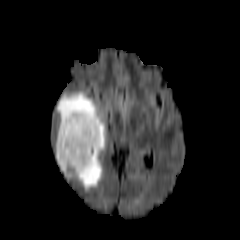
FLAIR MR.
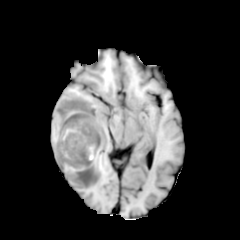
T1-weighted MRI of the same slice.
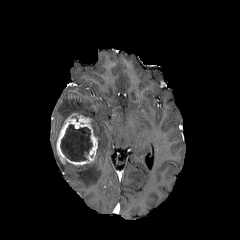
Same slice, post-contrast T1-weighted MR image.
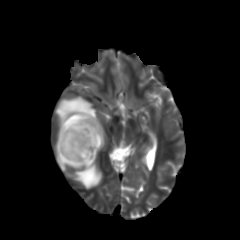
T2-weighted magnetic resonance.
Axial plane
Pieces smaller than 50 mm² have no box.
The enhancing tumor is at (x1=56, y1=112, x2=98, y2=166). 2 peritumoral edema regions are located at (x1=56, y1=152, x2=72, y2=178), (x1=55, y1=92, x2=106, y2=191). The largest necrotic tumor core region appears at (x1=60, y1=124, x2=92, y2=161).